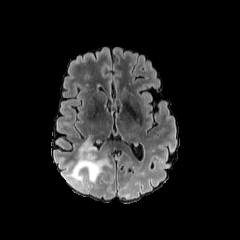
FLAIR magnetic resonance.
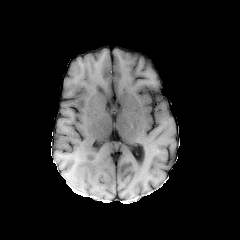
Same slice, T1-weighted MRI.
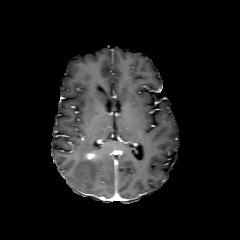
Post-contrast T1-weighted MR image of the same slice.
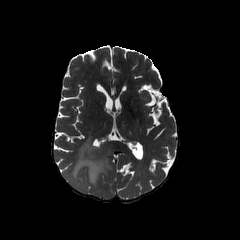
Same slice, T2-weighted MRI.
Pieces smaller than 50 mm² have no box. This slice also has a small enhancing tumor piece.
peritumoral edema at <bbox>71, 137, 109, 183</bbox>